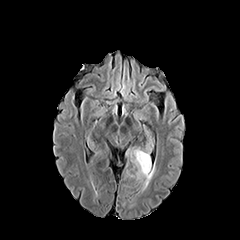
FLAIR MR.
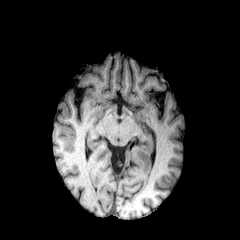
T1-weighted MR.
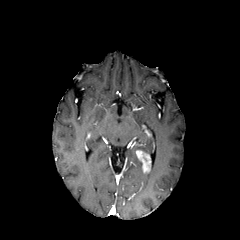
Post-contrast T1-weighted magnetic resonance.
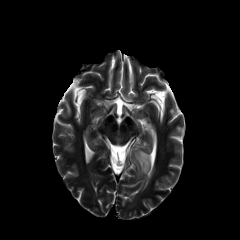
Same slice, T2-weighted magnetic resonance.
Brain
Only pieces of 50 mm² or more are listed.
enhancing tumor: {"x1": 136, "y1": 150, "x2": 150, "y2": 172}
peritumoral edema: {"x1": 131, "y1": 148, "x2": 154, "y2": 189}